FLAIR MR.
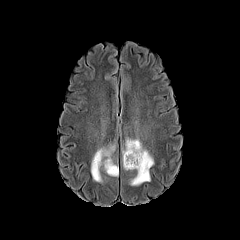
T1-weighted MR image.
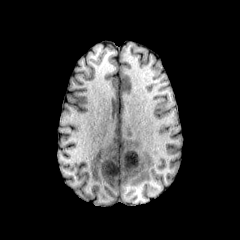
Post-contrast T1-weighted magnetic resonance.
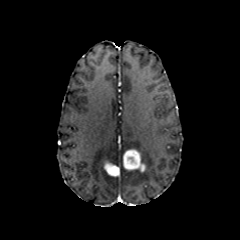
T2-weighted MR image.
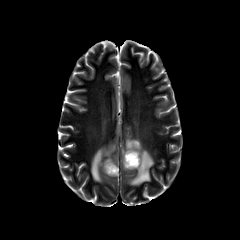
Image size 240x240
2 enhancing tumor regions are located at x1=103, y1=161, x2=119, y2=176; x1=123, y1=149, x2=145, y2=171. 2 peritumoral edema regions are bounded by x1=121, y1=137, x2=154, y2=185; x1=91, y1=143, x2=115, y2=182.